FLAIR magnetic resonance.
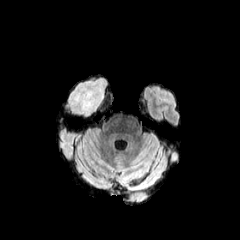
T1-weighted MR image.
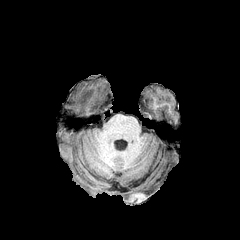
Post-contrast T1-weighted MR.
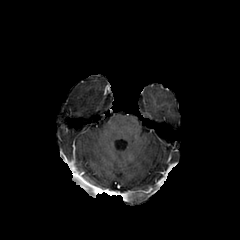
T2-weighted magnetic resonance.
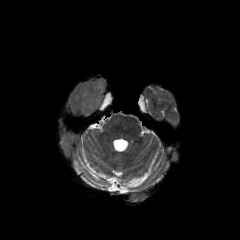
The peritumoral edema appears at [66,77,108,116].